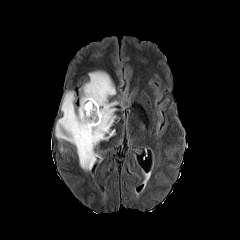
FLAIR MR.
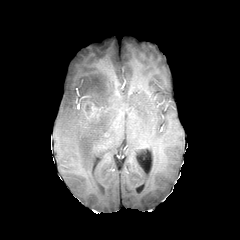
T1-weighted MR of the same slice.
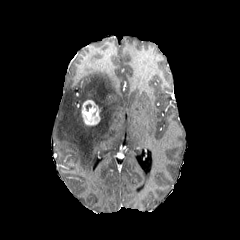
Post-contrast T1-weighted MR image of the same slice.
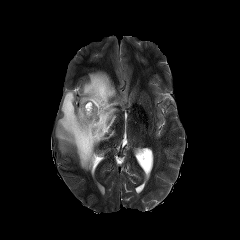
T2-weighted MR image.
Axial plane, 240x240
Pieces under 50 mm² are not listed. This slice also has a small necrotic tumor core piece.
Segmented structures:
• enhancing tumor: box=[81, 100, 100, 125]
• peritumoral edema: box=[55, 71, 122, 170]